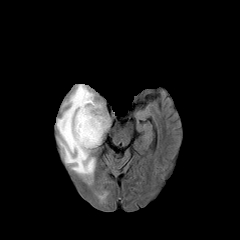
FLAIR MR image.
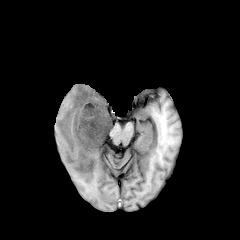
T1-weighted MRI.
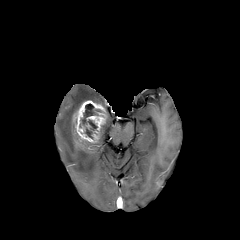
Post-contrast T1-weighted MR.
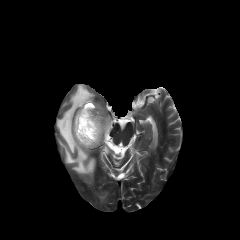
T2-weighted MR.
Head; Axial slice
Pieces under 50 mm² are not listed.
- necrotic tumor core: <bbox>81, 104, 97, 138</bbox>
- enhancing tumor: <bbox>73, 100, 107, 151</bbox>
- peritumoral edema: <bbox>96, 116, 110, 145</bbox>, <bbox>56, 84, 100, 182</bbox>